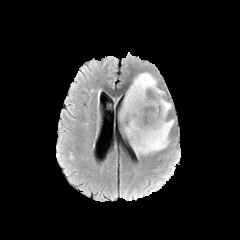
FLAIR magnetic resonance.
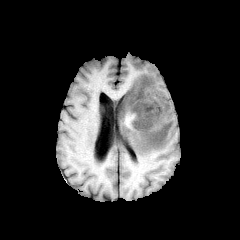
T1-weighted MR.
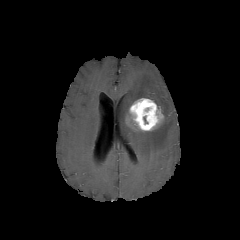
Post-contrast T1-weighted magnetic resonance.
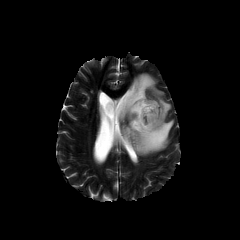
Same slice, T2-weighted MR.
Head | Axial slice
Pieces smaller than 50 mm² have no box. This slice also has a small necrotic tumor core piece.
The enhancing tumor appears at [129, 98, 164, 131]. The peritumoral edema is located at [119, 72, 174, 156].